Brain. Slice 73/155. Axial slice.
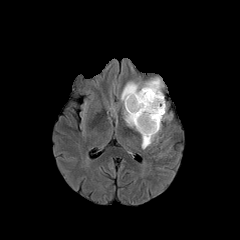
FLAIR MRI.
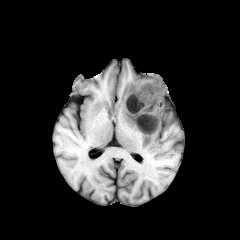
T1-weighted MR.
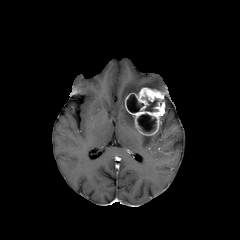
Post-contrast T1-weighted MR.
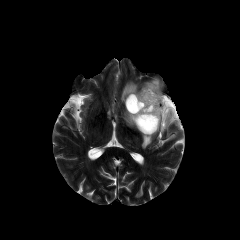
T2-weighted MRI.
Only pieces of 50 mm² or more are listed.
3 necrotic tumor core regions are located at 127,94,143,112; 137,114,156,132; 145,99,158,111. The 4 largest peritumoral edema regions are bounded by 123,108,135,128; 121,77,163,107; 161,113,171,124; 141,132,157,148. The enhancing tumor is at 125,87,165,135.